Brain | Image size 240x240
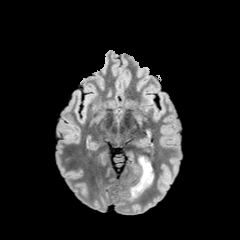
FLAIR magnetic resonance.
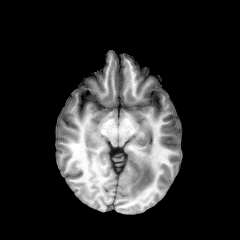
T1-weighted MRI of the same slice.
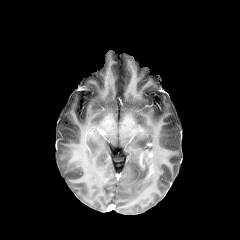
Post-contrast T1-weighted magnetic resonance.
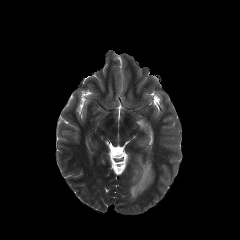
T2-weighted MR image of the same slice.
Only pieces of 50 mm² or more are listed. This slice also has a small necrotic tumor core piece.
enhancing_tumor:
  - x1=139 y1=155 x2=145 y2=168
  - x1=144 y1=165 x2=153 y2=182
peritumoral_edema:
  - x1=130 y1=152 x2=154 y2=198